Slice 49 of 155.
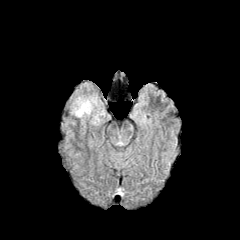
FLAIR MR image.
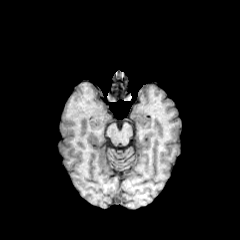
T1-weighted MR image of the same slice.
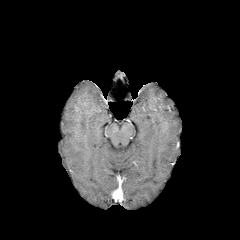
Same slice, post-contrast T1-weighted MR.
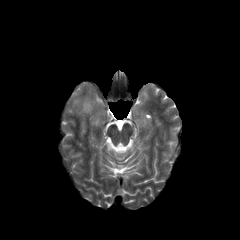
T2-weighted magnetic resonance.
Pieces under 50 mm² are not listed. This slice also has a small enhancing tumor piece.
peritumoral edema: 71:95:105:125